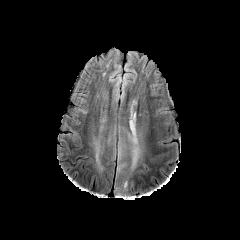
FLAIR MR image.
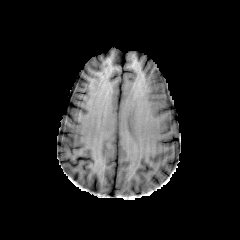
T1-weighted MR of the same slice.
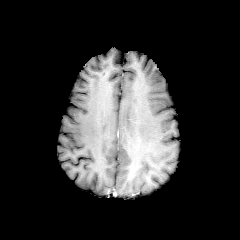
Post-contrast T1-weighted MR image.
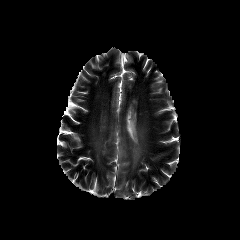
T2-weighted MR image.
Brain. Image size 240x240.
peritumoral edema = 130:126:136:142